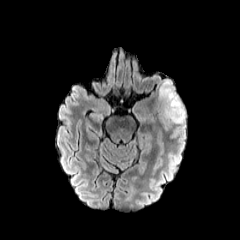
FLAIR MR.
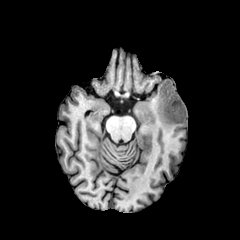
T1-weighted MR image of the same slice.
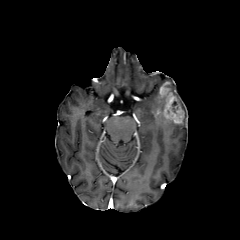
Post-contrast T1-weighted MR image of the same slice.
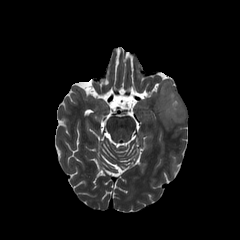
T2-weighted MR of the same slice.
Brain
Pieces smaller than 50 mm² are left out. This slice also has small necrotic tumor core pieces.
peritumoral edema — (175, 99, 186, 126), (156, 91, 173, 128)
enhancing tumor — (159, 81, 184, 123)